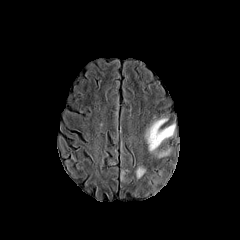
FLAIR magnetic resonance.
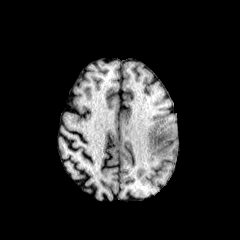
T1-weighted MR image.
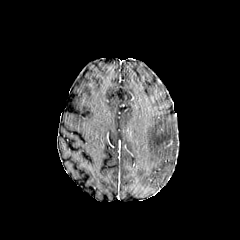
Post-contrast T1-weighted MR image.
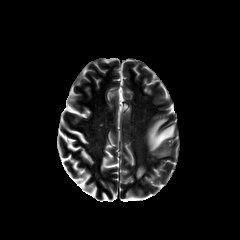
T2-weighted MR image of the same slice.
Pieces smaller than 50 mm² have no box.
peritumoral_edema:
  - box=[120, 168, 131, 181]
  - box=[136, 166, 145, 178]
  - box=[145, 117, 175, 157]